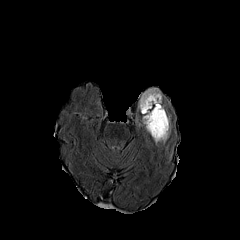
FLAIR MR.
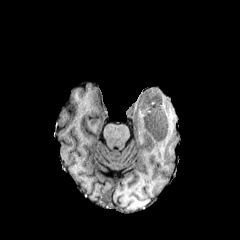
T1-weighted MR of the same slice.
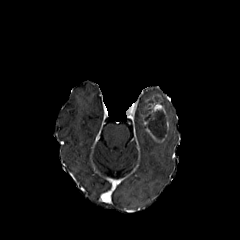
Post-contrast T1-weighted magnetic resonance of the same slice.
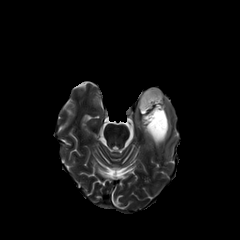
T2-weighted magnetic resonance.
Axial view. Brain.
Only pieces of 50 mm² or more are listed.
{"peritumoral_edema": ["(left=138, top=88, right=162, bottom=115)", "(left=162, top=114, right=170, bottom=143)"], "enhancing_tumor": ["(left=142, top=94, right=168, bottom=142)"], "necrotic_tumor_core": ["(left=144, top=111, right=166, bottom=139)"]}